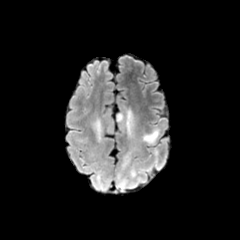
FLAIR MR image.
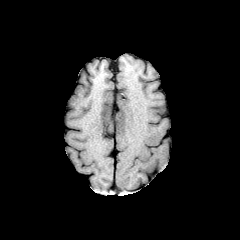
T1-weighted MR image of the same slice.
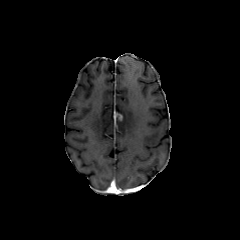
Same slice, post-contrast T1-weighted magnetic resonance.
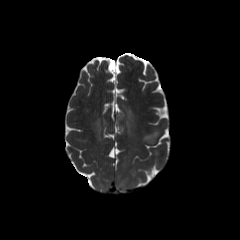
T2-weighted MR of the same slice.
240x240. Head.
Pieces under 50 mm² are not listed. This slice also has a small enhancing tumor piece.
peritumoral edema — (94,119,101,140), (121,106,134,135), (143,130,158,143)